Head | Axial plane
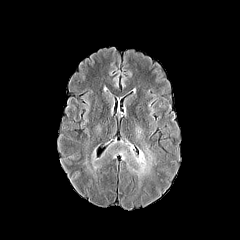
FLAIR MR.
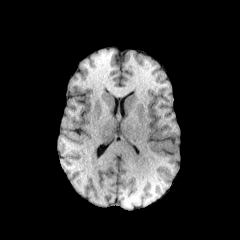
T1-weighted MR image.
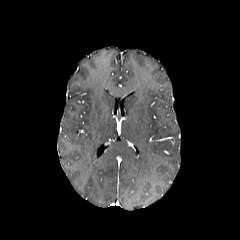
Same slice, post-contrast T1-weighted MRI.
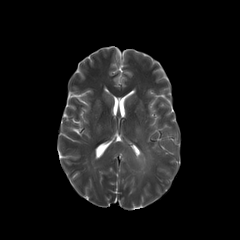
T2-weighted MR.
Segmented structures:
• peritumoral edema: x1=104 y1=126 x2=155 y2=188, x1=87 y1=150 x2=99 y2=175